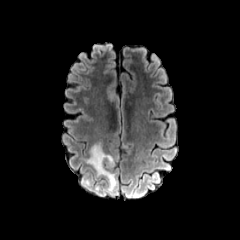
FLAIR MR.
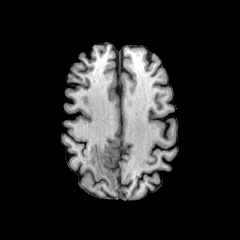
Same slice, T1-weighted MRI.
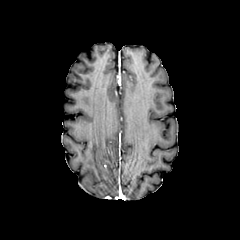
Post-contrast T1-weighted MRI of the same slice.
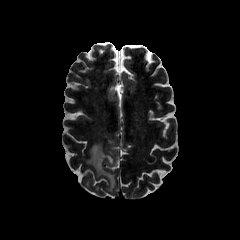
T2-weighted MRI.
Brain | 240x240
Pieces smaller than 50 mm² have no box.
peritumoral edema: region(86, 141, 117, 191)